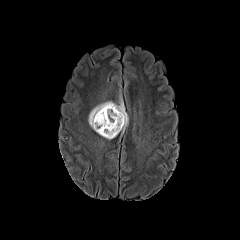
FLAIR MR.
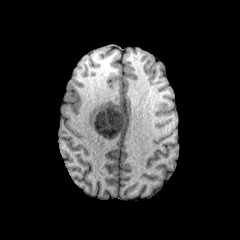
T1-weighted MR image of the same slice.
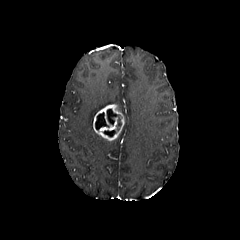
Post-contrast T1-weighted MR image.
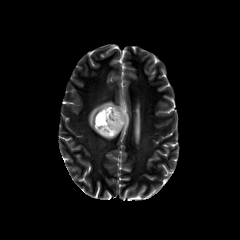
T2-weighted MR.
240x240; Brain
necrotic tumor core: x1=103 y1=130 x2=115 y2=136, x1=95 y1=112 x2=109 y2=130, x1=107 y1=109 x2=121 y2=126
peritumoral edema: x1=118 y1=94 x2=128 y2=135, x1=88 y1=101 x2=114 y2=128
enhancing tumor: x1=93 y1=104 x2=124 y2=140